Slice 67/155. Head.
FLAIR magnetic resonance.
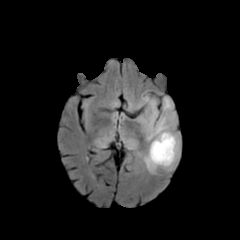
T1-weighted MRI.
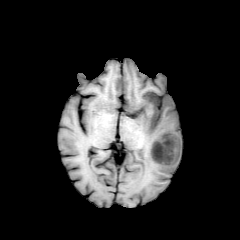
Post-contrast T1-weighted MR image.
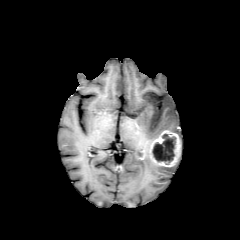
T2-weighted magnetic resonance.
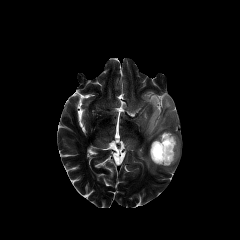
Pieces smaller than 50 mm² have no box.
The enhancing tumor lies within (left=150, top=130, right=181, bottom=167). The largest peritumoral edema region is at (left=130, top=92, right=180, bottom=173). The necrotic tumor core is bounded by (left=152, top=134, right=175, bottom=163).